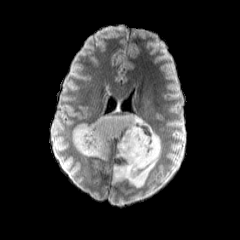
FLAIR MR.
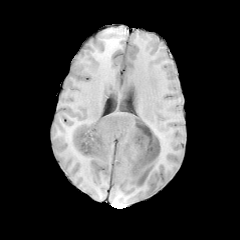
T1-weighted MRI.
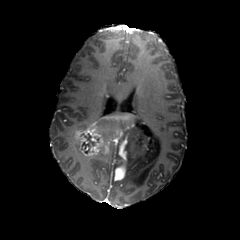
Post-contrast T1-weighted MR of the same slice.
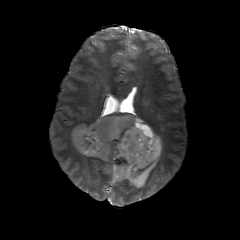
T2-weighted MRI.
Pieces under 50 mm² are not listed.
necrotic tumor core = [x1=119, y1=127, x2=131, y2=142], [x1=98, y1=117, x2=126, y2=136], [x1=81, y1=133, x2=95, y2=153]
peritumoral edema = [x1=106, y1=108, x2=134, y2=115], [x1=72, y1=124, x2=87, y2=137], [x1=96, y1=150, x2=110, y2=160], [x1=113, y1=119, x2=161, y2=187]
enhancing tumor = [x1=72, y1=115, x2=139, y2=180]